Axial plane. Brain. Image covers 240 mm x 240 mm.
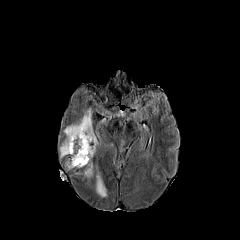
FLAIR MR.
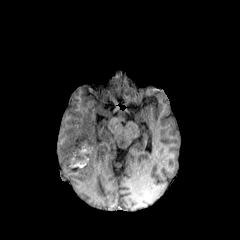
T1-weighted MR.
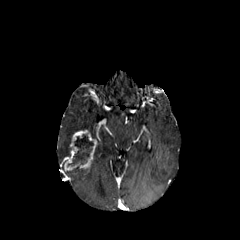
Same slice, post-contrast T1-weighted MR image.
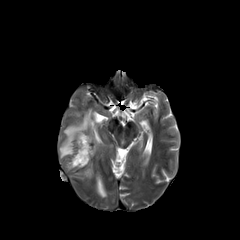
T2-weighted MR image.
3 peritumoral edema regions are bounded by region(84, 163, 93, 177); region(96, 174, 106, 197); region(59, 108, 95, 158). The enhancing tumor lies within region(64, 129, 97, 172). The necrotic tumor core is located at region(68, 134, 93, 165).